FLAIR MR image.
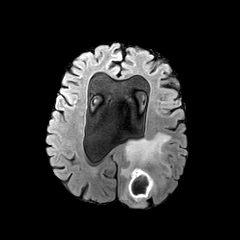
T1-weighted MR image.
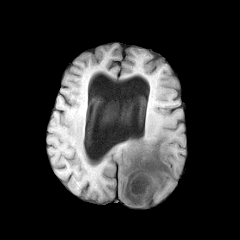
Post-contrast T1-weighted MRI.
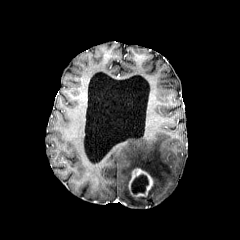
T2-weighted MRI.
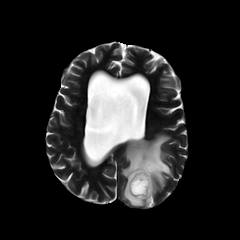
Head.
The peritumoral edema appears at bbox(121, 133, 171, 206). The enhancing tumor is at bbox(128, 168, 153, 197). The necrotic tumor core lies within bbox(131, 174, 148, 194).